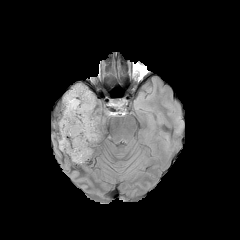
FLAIR MR image.
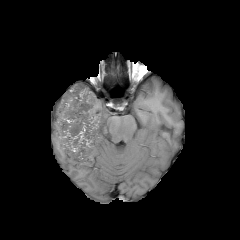
T1-weighted MRI of the same slice.
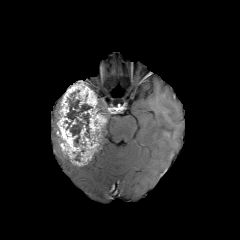
Same slice, post-contrast T1-weighted MR.
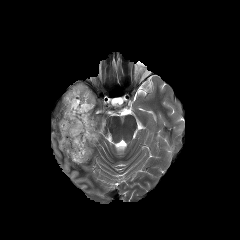
T2-weighted MR.
Head, Axial slice
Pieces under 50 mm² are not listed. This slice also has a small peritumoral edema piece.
<segmentation>
  <necrotic_tumor_core>region(65, 97, 92, 146)</necrotic_tumor_core>
  <enhancing_tumor>region(57, 82, 106, 165)</enhancing_tumor>
</segmentation>